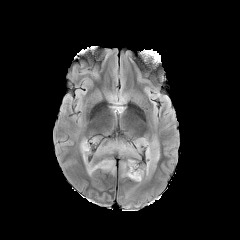
FLAIR MR image.
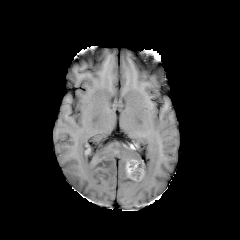
T1-weighted MRI.
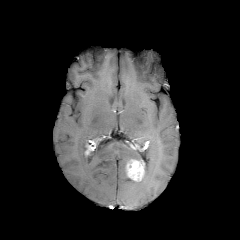
Post-contrast T1-weighted MRI.
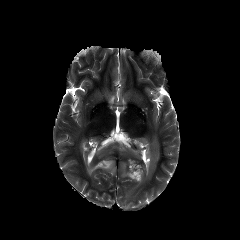
Same slice, T2-weighted MR image.
Head
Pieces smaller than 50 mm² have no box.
enhancing tumor — 126:159:144:181
peritumoral edema — 133:137:147:151, 144:139:159:177, 80:137:139:175, 121:162:126:177